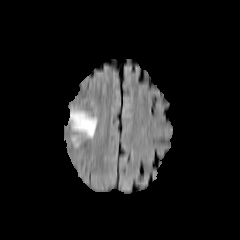
FLAIR MR image.
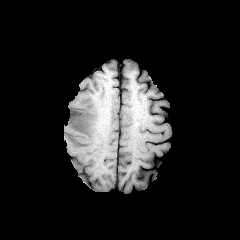
T1-weighted magnetic resonance.
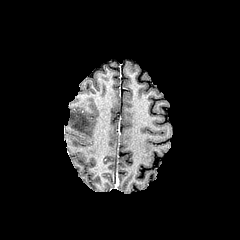
Post-contrast T1-weighted MR image of the same slice.
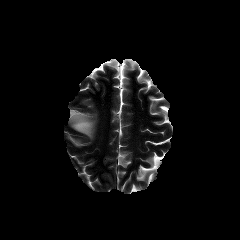
T2-weighted MR.
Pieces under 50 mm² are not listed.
Findings:
• peritumoral edema: (left=69, top=110, right=97, bottom=138)